FLAIR MRI.
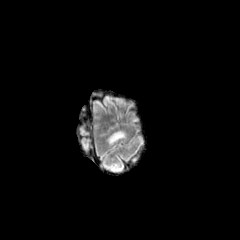
T1-weighted magnetic resonance.
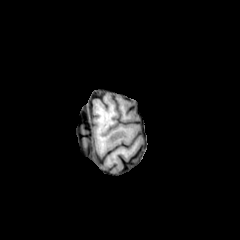
Post-contrast T1-weighted MRI.
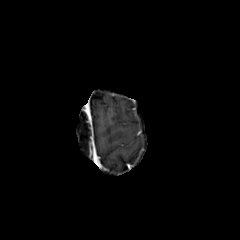
T2-weighted magnetic resonance.
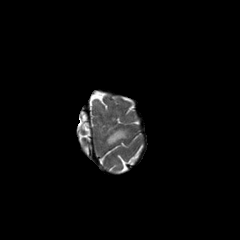
Head
The peritumoral edema is bounded by 108,130,126,144.